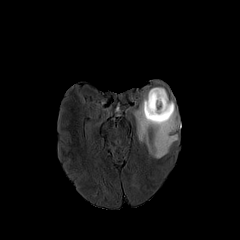
FLAIR magnetic resonance.
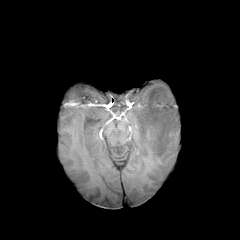
Same slice, T1-weighted MR image.
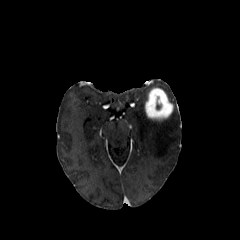
Post-contrast T1-weighted magnetic resonance.
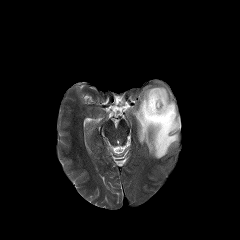
T2-weighted magnetic resonance.
Image size 240x240, Head
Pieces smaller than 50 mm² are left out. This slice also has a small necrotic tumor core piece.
enhancing tumor: (x1=145, y1=87, x2=173, y2=120) | peritumoral edema: (x1=133, y1=89, x2=180, y2=158)